Slice 80 of 155. Axial slice.
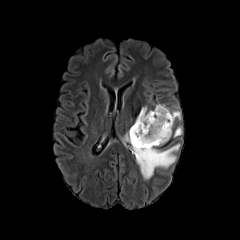
FLAIR magnetic resonance.
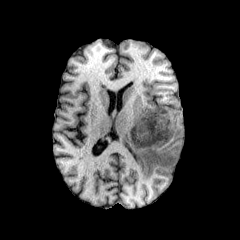
T1-weighted magnetic resonance.
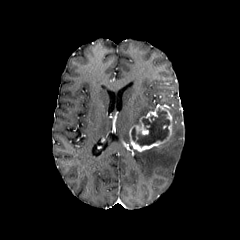
Post-contrast T1-weighted magnetic resonance.
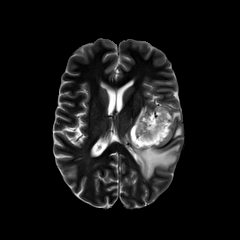
T2-weighted magnetic resonance.
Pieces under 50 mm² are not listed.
enhancing tumor — (x1=129, y1=105, x2=172, y2=151)
peritumoral edema — (x1=134, y1=106, x2=147, y2=124), (x1=131, y1=144, x2=180, y2=179), (x1=170, y1=111, x2=180, y2=125), (x1=174, y1=126, x2=182, y2=137)
necrotic tumor core — (x1=131, y1=108, x2=169, y2=146)